240x240. Slice 65/155.
FLAIR MRI.
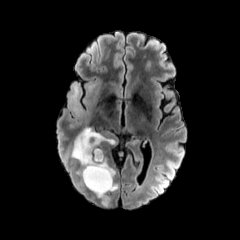
T1-weighted MR image.
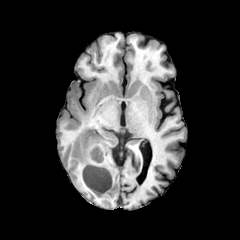
Post-contrast T1-weighted MR image.
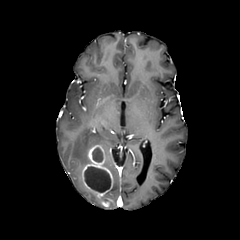
T2-weighted MR.
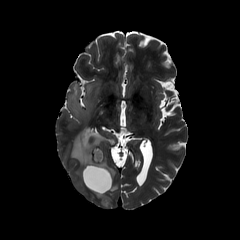
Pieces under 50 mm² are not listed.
enhancing tumor = 101:199:111:206, 82:145:113:198
peritumoral edema = 104:159:115:178, 109:182:118:191, 68:79:114:166
necrotic tumor core = 84:166:110:192, 92:148:102:162